FLAIR MR image.
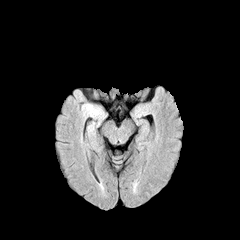
T1-weighted magnetic resonance.
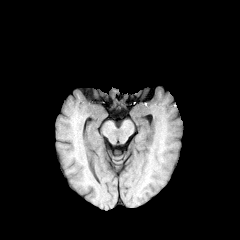
Post-contrast T1-weighted MR.
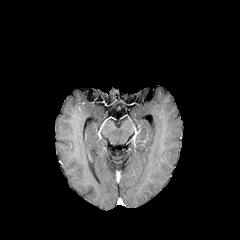
T2-weighted magnetic resonance.
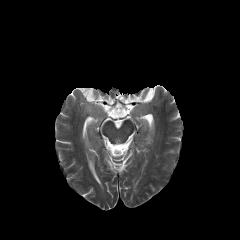
The peritumoral edema is located at box(84, 103, 101, 118).